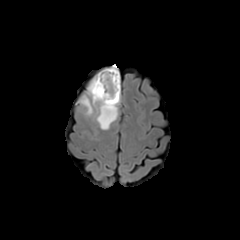
FLAIR magnetic resonance.
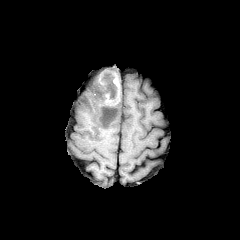
Same slice, T1-weighted MRI.
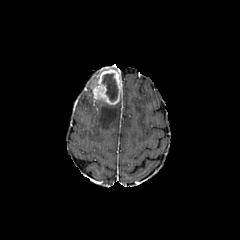
Same slice, post-contrast T1-weighted MRI.
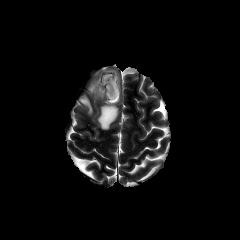
T2-weighted magnetic resonance.
Axial slice; 240x240; Head
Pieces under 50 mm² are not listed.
- enhancing tumor: x1=89 y1=67 x2=119 y2=104
- necrotic tumor core: x1=102 y1=74 x2=117 y2=101
- peritumoral edema: x1=80 y1=95 x2=93 y2=115, x1=93 y1=101 x2=119 y2=129